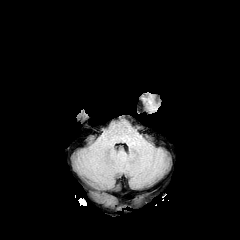
FLAIR MRI.
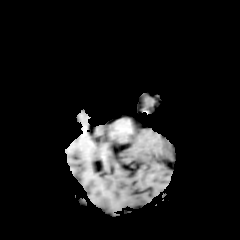
T1-weighted MR image.
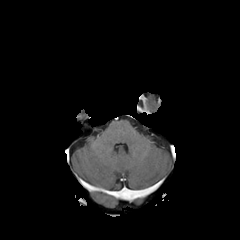
Post-contrast T1-weighted MR.
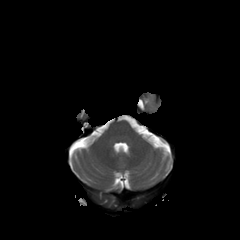
T2-weighted MR.
peritumoral edema: bounding box rect(145, 96, 152, 107)